Brain
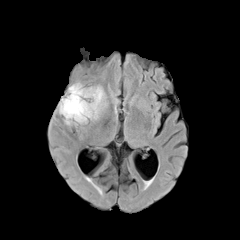
FLAIR MR image.
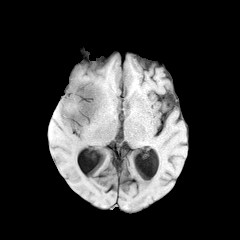
Same slice, T1-weighted MRI.
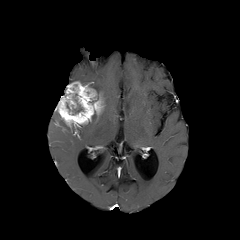
Post-contrast T1-weighted MR of the same slice.
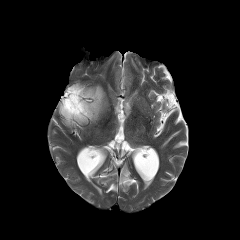
Same slice, T2-weighted MR image.
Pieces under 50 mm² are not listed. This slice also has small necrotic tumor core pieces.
Annotated regions:
• enhancing tumor: [57,82,103,126]
• peritumoral edema: [91,86,105,107]